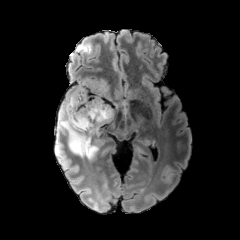
FLAIR MR.
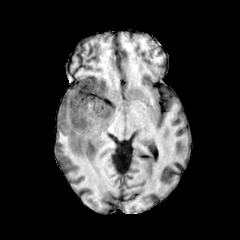
Same slice, T1-weighted MR image.
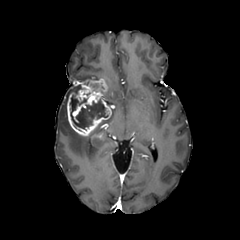
Post-contrast T1-weighted MR.
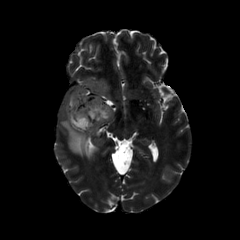
Same slice, T2-weighted MR image.
Axial slice | Head
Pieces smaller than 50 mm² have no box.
The necrotic tumor core is bounded by (left=70, top=95, right=108, bottom=128). 2 enhancing tumor regions are located at (left=66, top=78, right=111, bottom=136), (left=72, top=104, right=85, bottom=122). The largest peritumoral edema region is bounded by (left=58, top=85, right=99, bottom=157).